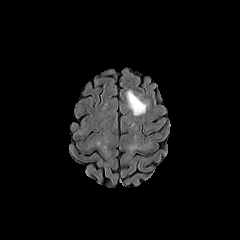
FLAIR MR image.
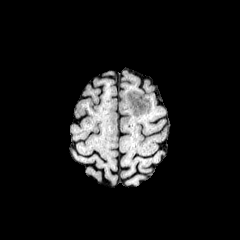
Same slice, T1-weighted MR image.
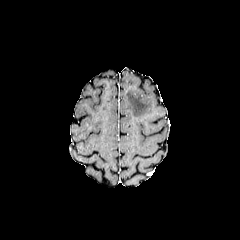
Post-contrast T1-weighted MR.
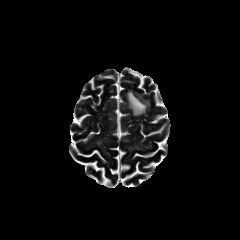
T2-weighted MRI.
240x240 | Axial plane
{
  "peritumoral_edema": [
    "left=126, top=90, right=148, bottom=115"
  ]
}